FLAIR magnetic resonance.
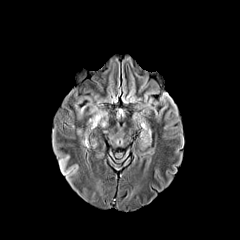
T1-weighted MRI.
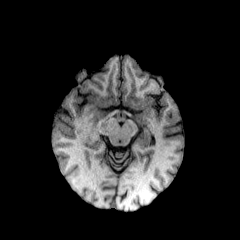
Post-contrast T1-weighted MR.
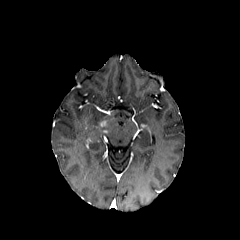
T2-weighted MR.
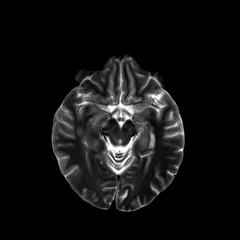
Brain; 240x240 px
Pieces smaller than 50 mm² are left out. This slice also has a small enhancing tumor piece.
The largest peritumoral edema region lies within bbox=[89, 113, 103, 125].